Axial view; 240x240 px; Brain; Slice 63/155
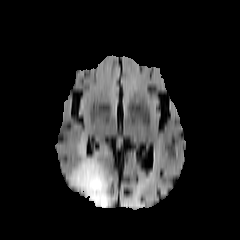
FLAIR MR.
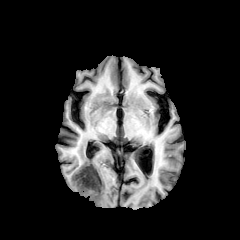
T1-weighted MR.
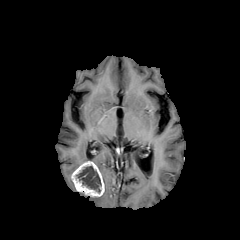
Same slice, post-contrast T1-weighted MR.
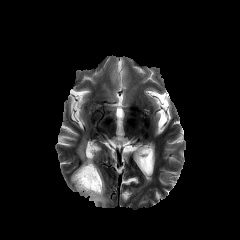
T2-weighted magnetic resonance.
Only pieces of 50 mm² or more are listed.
The largest peritumoral edema region is at 73,138,114,207. The necrotic tumor core appears at 76,166,101,192. The enhancing tumor lies within 71,161,104,197.